240x240 px. Head. Slice 110/155.
FLAIR MRI.
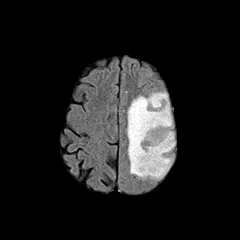
T1-weighted magnetic resonance.
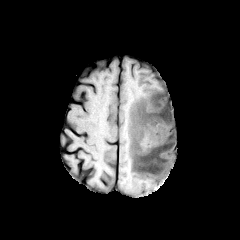
Post-contrast T1-weighted MRI.
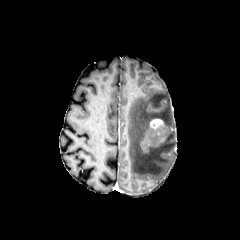
T2-weighted MR image.
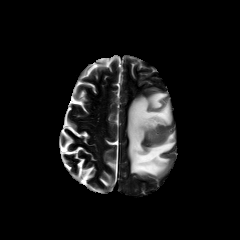
enhancing tumor — {"x1": 150, "y1": 119, "x2": 163, "y2": 129}
peritumoral edema — {"x1": 127, "y1": 92, "x2": 175, "y2": 179}